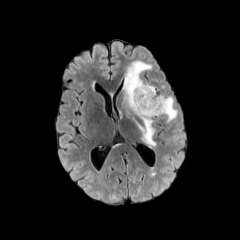
FLAIR MR image.
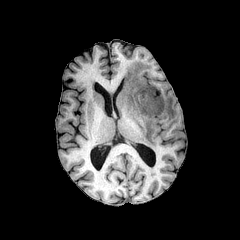
T1-weighted MR.
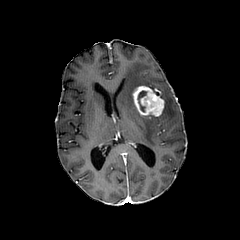
Post-contrast T1-weighted MR image.
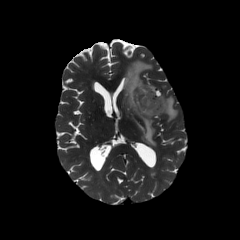
T2-weighted MR of the same slice.
Brain
The necrotic tumor core is bounded by (138,91,146,111). 2 peritumoral edema regions are bounded by (161,95,177,122), (123,60,156,146). The enhancing tumor is located at (132,85,164,116).